Slice 29 of 155; Head
FLAIR magnetic resonance.
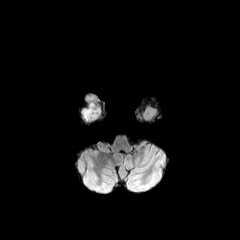
T1-weighted magnetic resonance.
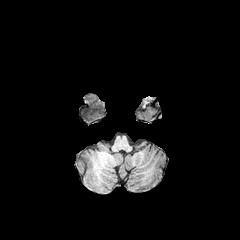
Post-contrast T1-weighted MR image.
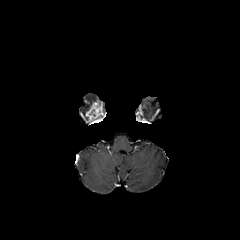
T2-weighted magnetic resonance.
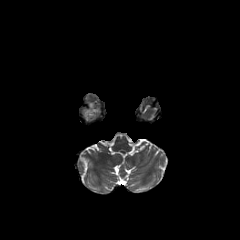
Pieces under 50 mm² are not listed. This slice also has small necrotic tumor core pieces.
<segmentation>
  <peritumoral_edema>[82,102,94,121]</peritumoral_edema>
  <enhancing_tumor>[85,102,101,123]</enhancing_tumor>
</segmentation>